Brain, Image size 240x240
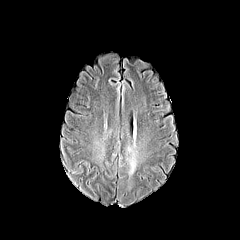
FLAIR magnetic resonance.
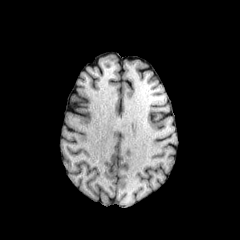
T1-weighted MR image.
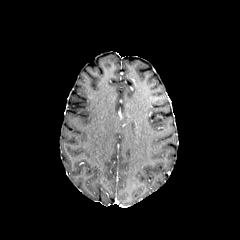
Post-contrast T1-weighted MR.
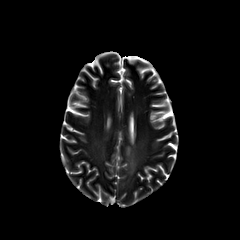
T2-weighted magnetic resonance.
The peritumoral edema is at <bbox>126, 143, 137, 175</bbox>.